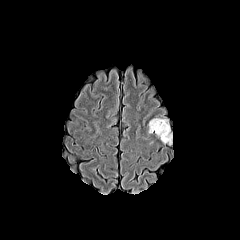
FLAIR MR image.
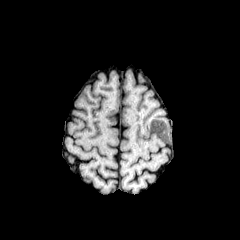
T1-weighted MR image of the same slice.
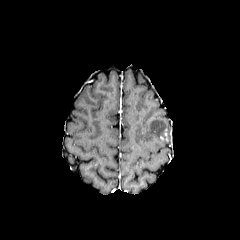
Post-contrast T1-weighted MRI.
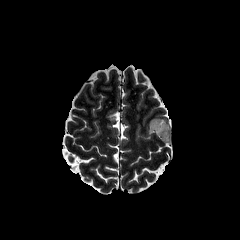
T2-weighted MR image.
240x240 px.
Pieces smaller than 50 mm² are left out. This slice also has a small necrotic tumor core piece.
The enhancing tumor appears at (left=160, top=129, right=168, bottom=141). The largest peritumoral edema region is bounded by (left=149, top=118, right=171, bottom=142).